FLAIR MRI.
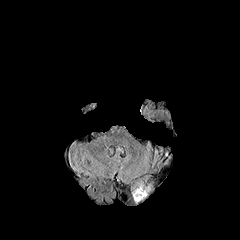
T1-weighted MRI.
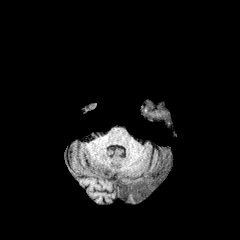
Post-contrast T1-weighted MR image.
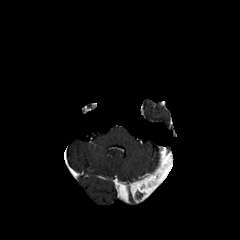
T2-weighted MR.
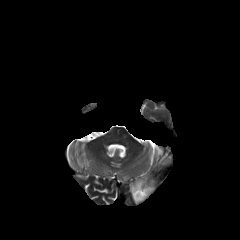
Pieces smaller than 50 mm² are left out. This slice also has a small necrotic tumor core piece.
The enhancing tumor appears at (130, 152, 171, 203).